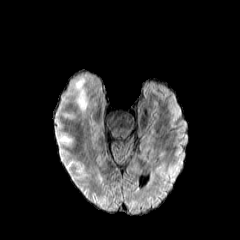
FLAIR MR image.
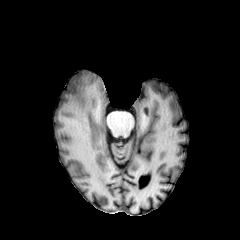
T1-weighted MR of the same slice.
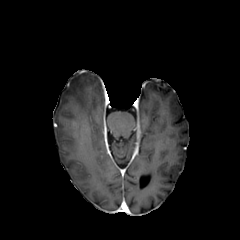
Same slice, post-contrast T1-weighted magnetic resonance.
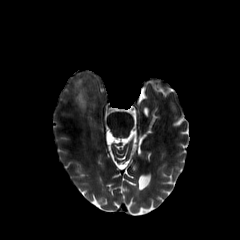
T2-weighted MR image.
Axial view
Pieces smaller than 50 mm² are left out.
{
  "peritumoral_edema": [
    "l=75, t=79, r=86, b=109"
  ]
}